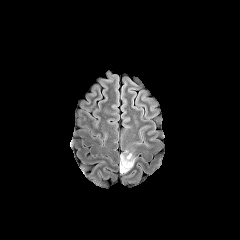
FLAIR MRI.
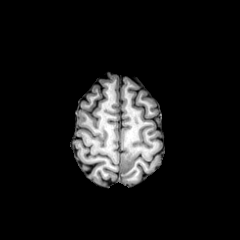
Same slice, T1-weighted MR image.
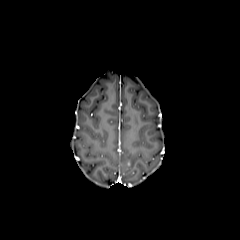
Same slice, post-contrast T1-weighted MRI.
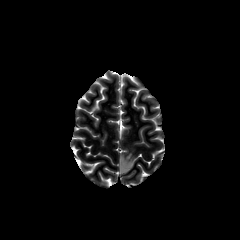
T2-weighted MRI.
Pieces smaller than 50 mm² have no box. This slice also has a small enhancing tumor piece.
peritumoral edema: box=[120, 147, 136, 173]